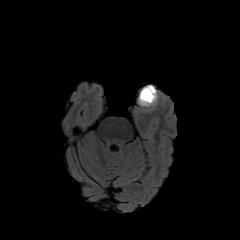
FLAIR MRI.
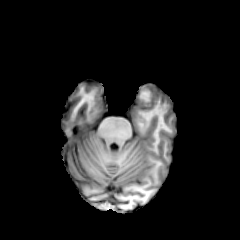
T1-weighted magnetic resonance of the same slice.
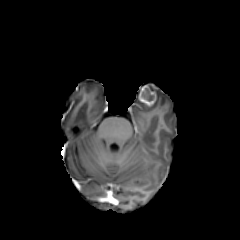
Post-contrast T1-weighted MR.
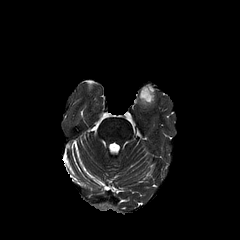
T2-weighted magnetic resonance.
Axial slice. 240x240. Brain.
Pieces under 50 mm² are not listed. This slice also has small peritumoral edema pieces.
{
  "necrotic_tumor_core": [
    "x1=142 y1=87 x2=154 y2=101"
  ],
  "enhancing_tumor": [
    "x1=139 y1=84 x2=156 y2=107"
  ]
}